FLAIR MR.
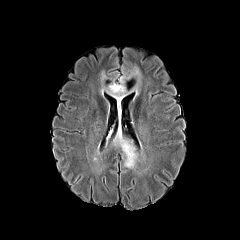
T1-weighted MR image.
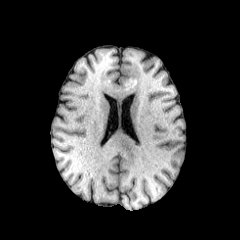
Post-contrast T1-weighted magnetic resonance.
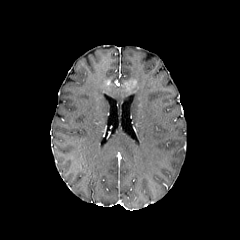
T2-weighted MR.
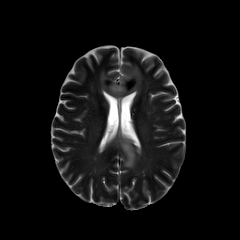
Axial plane. Head. Image size 240x240.
peritumoral edema: [100,66,141,104], [112,126,137,168]